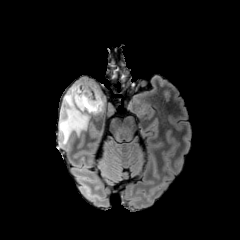
FLAIR MR image.
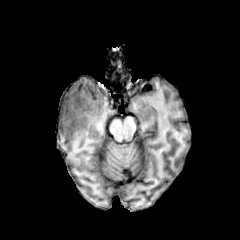
T1-weighted MRI.
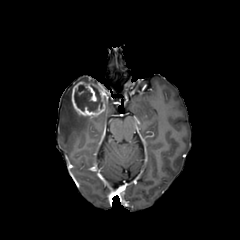
Same slice, post-contrast T1-weighted magnetic resonance.
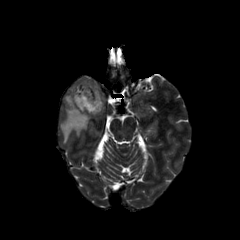
T2-weighted MRI.
240x240, Brain
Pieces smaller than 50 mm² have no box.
enhancing_tumor:
  - x1=71 y1=81 x2=106 y2=118
necrotic_tumor_core:
  - x1=74 y1=85 x2=102 y2=111
peritumoral_edema:
  - x1=59 y1=79 x2=90 y2=141